FLAIR MRI.
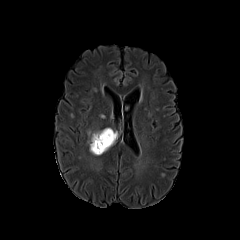
T1-weighted MR.
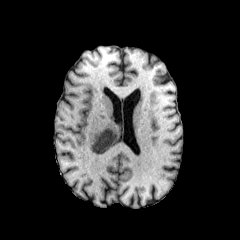
Post-contrast T1-weighted MRI.
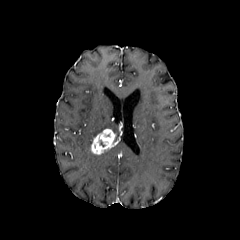
T2-weighted MR image.
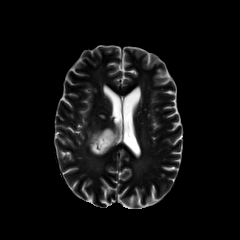
Head
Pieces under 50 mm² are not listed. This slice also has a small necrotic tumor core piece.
enhancing tumor — x1=91, y1=129, x2=115, y2=154
peritumoral edema — x1=87, y1=130, x2=102, y2=151